Axial plane | Slice 121 of 155 | Head
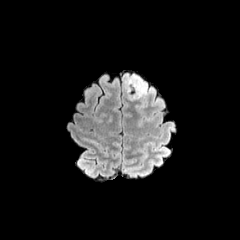
FLAIR MR.
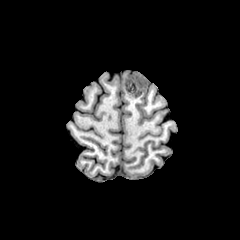
T1-weighted magnetic resonance.
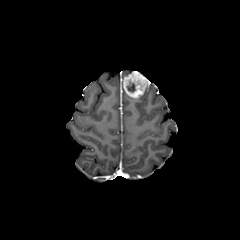
Post-contrast T1-weighted MRI.
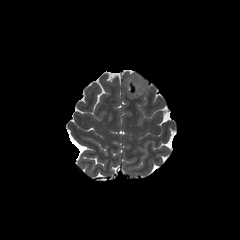
T2-weighted MRI.
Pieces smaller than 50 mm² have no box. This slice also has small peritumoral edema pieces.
The necrotic tumor core is at (x1=127, y1=81, x2=135, y2=92). The enhancing tumor is located at (x1=123, y1=73, x2=147, y2=98).